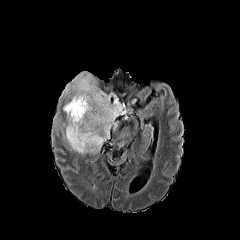
FLAIR magnetic resonance.
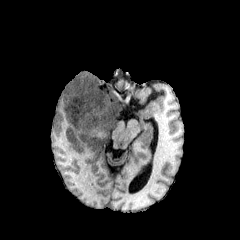
Same slice, T1-weighted MR image.
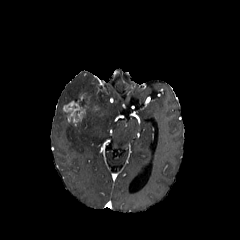
Same slice, post-contrast T1-weighted MR image.
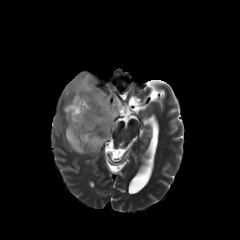
Same slice, T2-weighted MR image.
240x240 px. Head.
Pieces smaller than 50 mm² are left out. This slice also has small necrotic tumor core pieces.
peritumoral edema: {"x1": 62, "y1": 73, "x2": 121, "y2": 153}
enhancing tumor: {"x1": 63, "y1": 93, "x2": 98, "y2": 126}